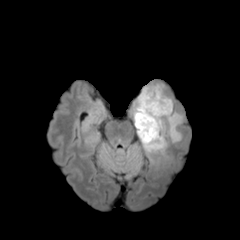
FLAIR magnetic resonance.
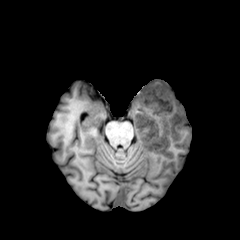
T1-weighted MR image.
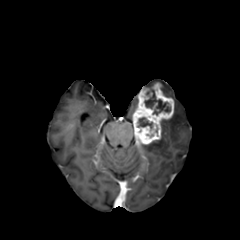
Post-contrast T1-weighted MR image.
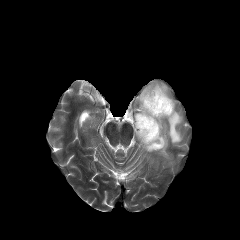
T2-weighted MR.
Axial slice. Head.
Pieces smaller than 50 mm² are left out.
{
  "enhancing_tumor": [
    "rect(133, 83, 174, 144)"
  ],
  "peritumoral_edema": [
    "rect(141, 106, 183, 152)",
    "rect(161, 83, 169, 96)",
    "rect(131, 97, 137, 118)"
  ],
  "necrotic_tumor_core": [
    "rect(145, 89, 170, 114)",
    "rect(138, 117, 152, 128)"
  ]
}